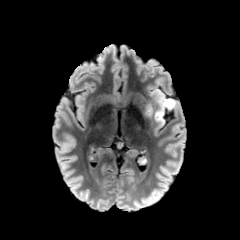
FLAIR MRI.
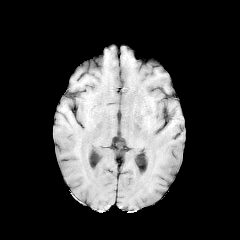
T1-weighted magnetic resonance of the same slice.
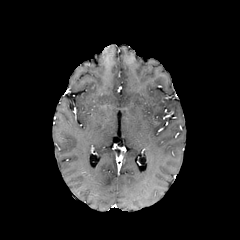
Post-contrast T1-weighted magnetic resonance of the same slice.
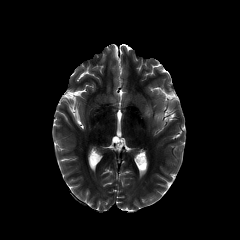
T2-weighted MRI.
Brain
peritumoral edema: <bbox>146, 106, 152, 116</bbox>, <bbox>154, 94, 176, 125</bbox>